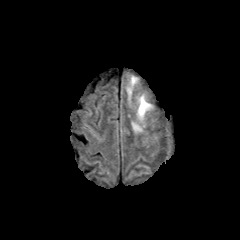
FLAIR MR.
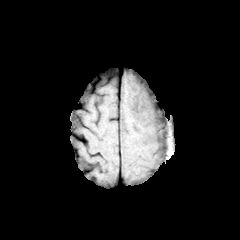
T1-weighted MR.
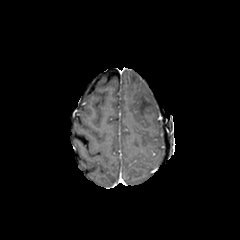
Post-contrast T1-weighted magnetic resonance.
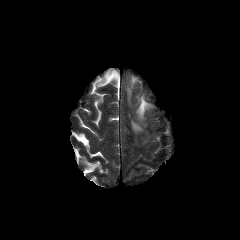
Same slice, T2-weighted magnetic resonance.
Axial plane | Brain
peritumoral edema: 137 96 151 119, 132 123 141 131, 127 77 136 96